Axial view. Image size 240x240.
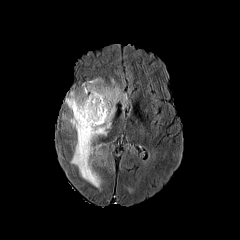
FLAIR MRI.
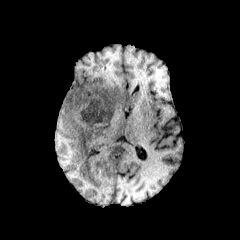
T1-weighted magnetic resonance.
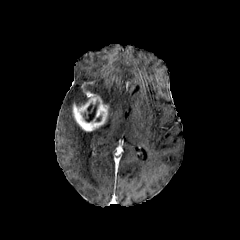
Post-contrast T1-weighted MR image of the same slice.
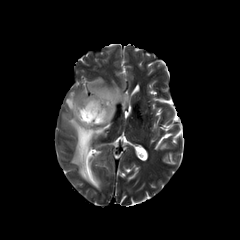
T2-weighted MR.
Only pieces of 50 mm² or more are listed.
peritumoral edema: l=62, t=78, r=128, b=189 | necrotic tumor core: l=83, t=102, r=98, b=122 | enhancing tumor: l=72, t=93, r=109, b=131